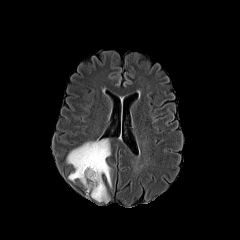
FLAIR MR.
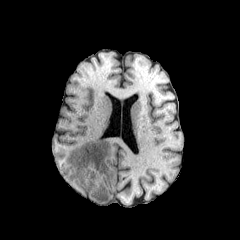
T1-weighted MR image of the same slice.
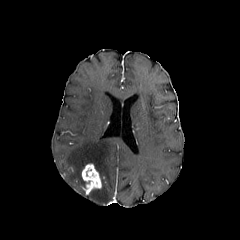
Same slice, post-contrast T1-weighted MR image.
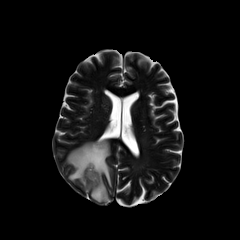
T2-weighted MR.
Brain.
* peritumoral edema: left=66, top=139, right=111, bottom=202
* enhancing tumor: left=81, top=163, right=101, bottom=194
* necrotic tumor core: left=85, top=167, right=96, bottom=177